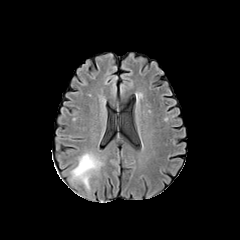
FLAIR MR image.
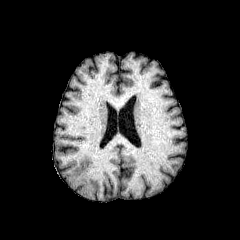
Same slice, T1-weighted MR.
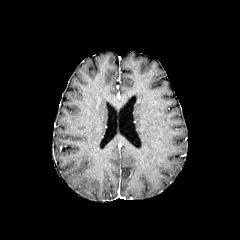
Same slice, post-contrast T1-weighted MR image.
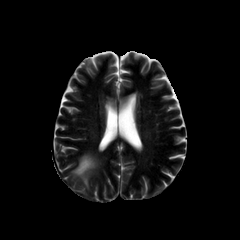
T2-weighted MR image of the same slice.
Image size 240x240.
<segmentation>
  <peritumoral_edema>[x1=72, y1=153, x2=100, y2=184]</peritumoral_edema>
</segmentation>